Image width 240 mm. 240x240.
FLAIR MR.
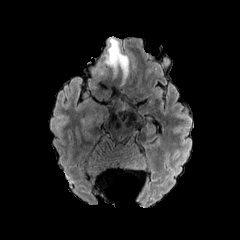
T1-weighted MR.
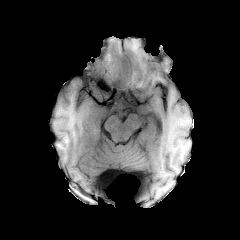
Post-contrast T1-weighted MR.
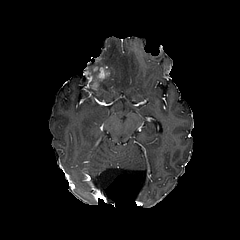
T2-weighted MR.
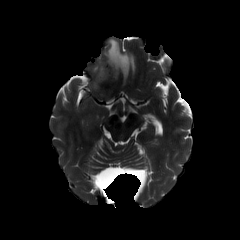
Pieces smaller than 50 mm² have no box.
<segmentation>
  <enhancing_tumor>[x1=94, y1=67, x2=109, y2=79]</enhancing_tumor>
  <peritumoral_edema>[x1=105, y1=38, x2=133, y2=78]</peritumoral_edema>
</segmentation>